FLAIR MR image.
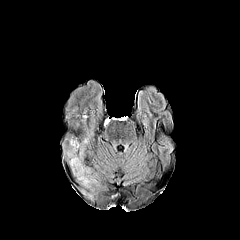
T1-weighted MRI.
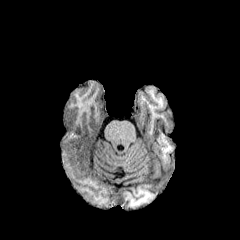
Post-contrast T1-weighted MR.
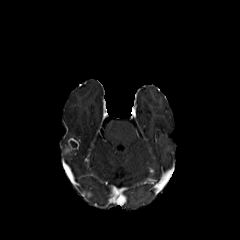
T2-weighted MRI.
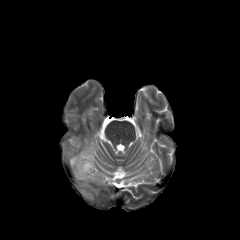
Brain | Image size 240x240
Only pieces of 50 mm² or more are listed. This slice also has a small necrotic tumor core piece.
Annotated regions:
- enhancing tumor: {"x1": 64, "y1": 138, "x2": 78, "y2": 153}
- peritumoral edema: {"x1": 69, "y1": 151, "x2": 96, "y2": 184}